FLAIR MR image.
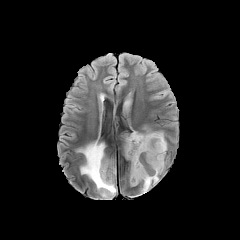
T1-weighted MRI.
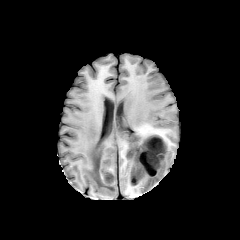
Post-contrast T1-weighted MR.
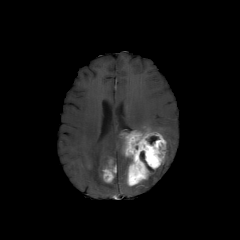
T2-weighted MRI.
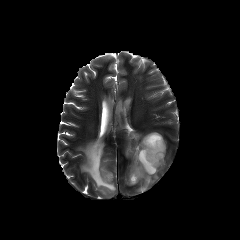
240x240, Axial view
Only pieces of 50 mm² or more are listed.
necrotic tumor core — l=140, t=151, r=155, b=174; l=148, t=136, r=158, b=144
peritumoral edema — l=143, t=125, r=164, b=138; l=78, t=140, r=116, b=197; l=140, t=158, r=166, b=192
enhancing tumor — l=122, t=131, r=166, b=185; l=102, t=160, r=116, b=183